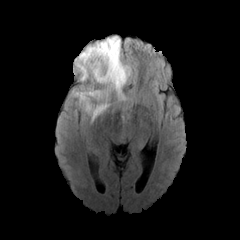
FLAIR MR.
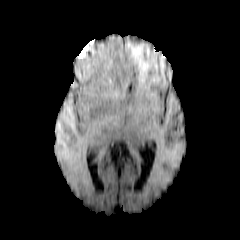
T1-weighted MR image of the same slice.
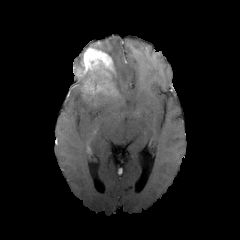
Same slice, post-contrast T1-weighted magnetic resonance.
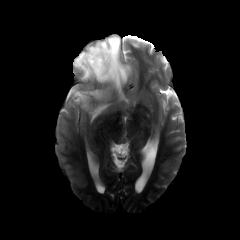
T2-weighted magnetic resonance.
Axial slice
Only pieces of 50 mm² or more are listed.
The 3 largest peritumoral edema regions are bounded by rect(103, 36, 130, 101); rect(71, 86, 108, 121); rect(75, 52, 83, 66). The largest enhancing tumor region is bounded by rect(74, 39, 116, 107).